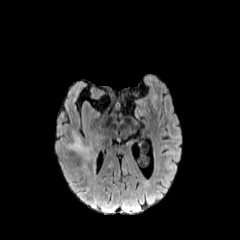
FLAIR MR.
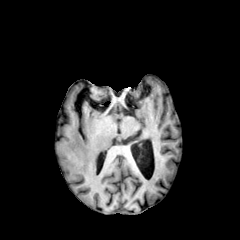
T1-weighted MRI of the same slice.
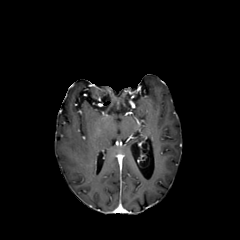
Same slice, post-contrast T1-weighted MRI.
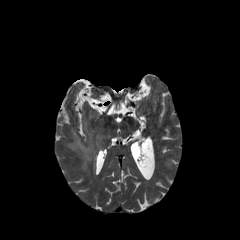
T2-weighted MR image.
Head. Axial plane. 240x240.
{
  "peritumoral_edema": [
    "[68, 133, 95, 160]",
    "[95, 136, 101, 147]"
  ]
}